Head
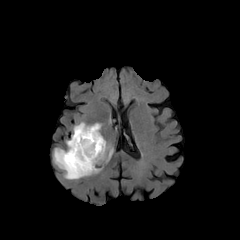
FLAIR MRI.
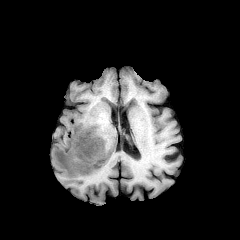
Same slice, T1-weighted MRI.
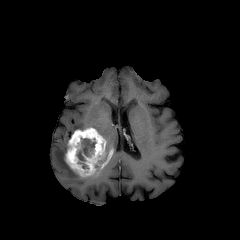
Post-contrast T1-weighted magnetic resonance.
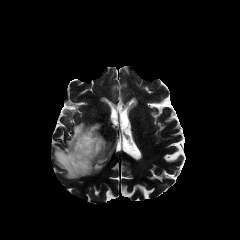
T2-weighted MR of the same slice.
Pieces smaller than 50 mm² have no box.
enhancing tumor — 65,127,106,177
necrotic tumor core — 75,138,95,169
peritumoral edema — 73,122,101,134; 53,147,81,179